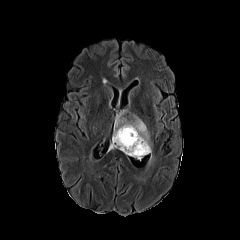
FLAIR magnetic resonance.
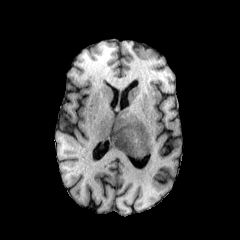
T1-weighted magnetic resonance.
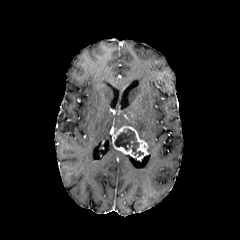
Post-contrast T1-weighted magnetic resonance of the same slice.
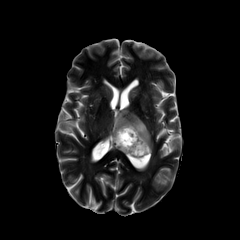
T2-weighted MR of the same slice.
Head; 240x240
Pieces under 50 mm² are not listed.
<segmentation>
  <necrotic_tumor_core>(114, 129, 143, 155)</necrotic_tumor_core>
  <enhancing_tumor>(112, 126, 148, 158)</enhancing_tumor>
  <peritumoral_edema>(114, 111, 151, 153)</peritumoral_edema>
</segmentation>